Slice index 75
FLAIR MR image.
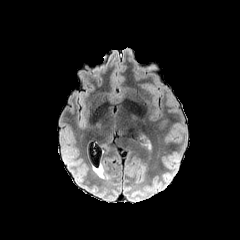
T1-weighted magnetic resonance.
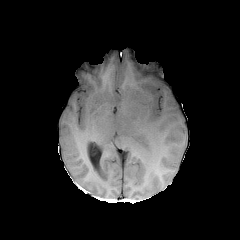
Post-contrast T1-weighted MRI.
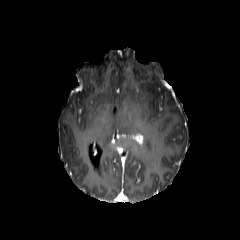
T2-weighted MR.
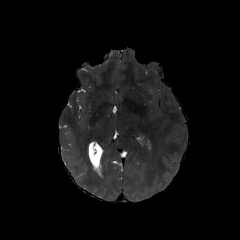
peritumoral edema: [138, 134, 150, 149]